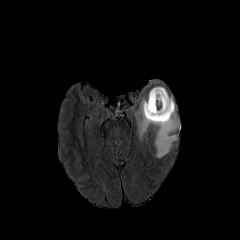
FLAIR MRI.
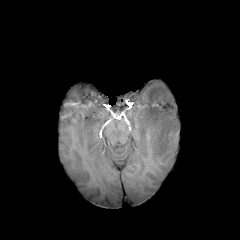
Same slice, T1-weighted magnetic resonance.
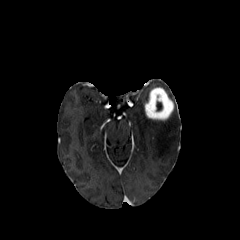
Post-contrast T1-weighted magnetic resonance.
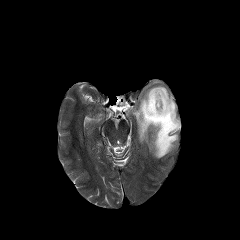
T2-weighted magnetic resonance of the same slice.
Image size 240x240 | Brain
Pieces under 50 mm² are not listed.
necrotic_tumor_core:
  - left=156, top=102, right=162, bottom=111
peritumoral_edema:
  - left=134, top=92, right=180, bottom=158
enhancing_tumor:
  - left=144, top=87, right=174, bottom=120